Axial plane. Slice 61/155.
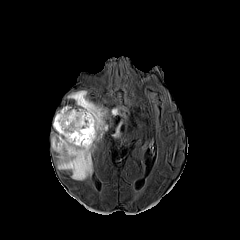
FLAIR magnetic resonance.
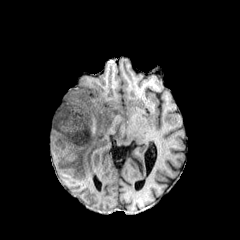
T1-weighted MR image.
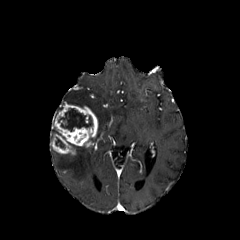
Post-contrast T1-weighted MR of the same slice.
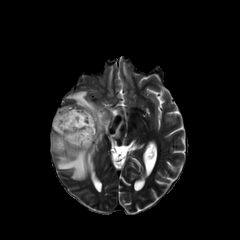
Same slice, T2-weighted magnetic resonance.
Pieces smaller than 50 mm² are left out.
enhancing tumor — [50, 104, 98, 154]
necrotic tumor core — [55, 137, 64, 148], [58, 108, 92, 131]
peritumoral edema — [57, 146, 92, 180], [113, 121, 122, 136], [67, 91, 107, 131]